FLAIR magnetic resonance.
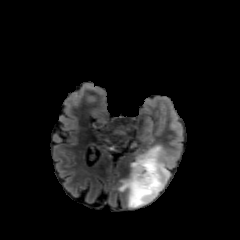
T1-weighted MR.
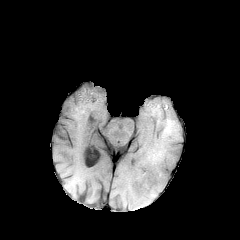
Post-contrast T1-weighted magnetic resonance.
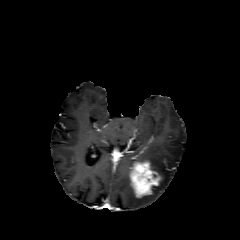
T2-weighted MRI.
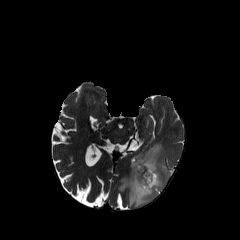
Head
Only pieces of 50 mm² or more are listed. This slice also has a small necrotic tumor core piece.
The largest peritumoral edema region appears at [118, 144, 174, 207]. The enhancing tumor is located at [129, 160, 161, 197].